Head. Image width 240 mm. 240x240 px.
FLAIR MR image.
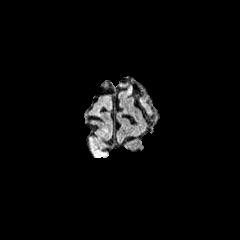
T1-weighted MR.
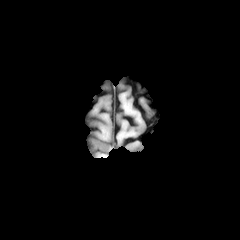
Post-contrast T1-weighted magnetic resonance.
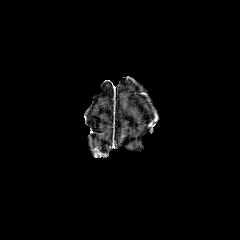
T2-weighted MR.
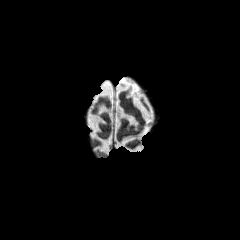
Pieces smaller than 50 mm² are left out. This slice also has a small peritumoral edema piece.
enhancing tumor: bounding box left=92, top=147, right=106, bottom=157